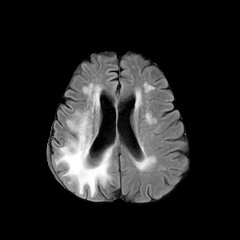
FLAIR magnetic resonance.
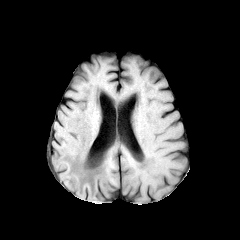
T1-weighted MRI of the same slice.
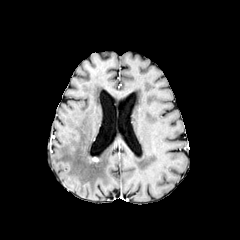
Same slice, post-contrast T1-weighted MRI.
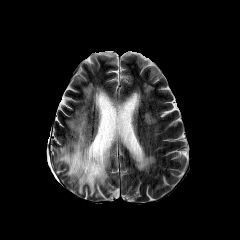
T2-weighted MR.
Brain. Image size 240x240.
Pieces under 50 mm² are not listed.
enhancing tumor: [x1=88, y1=157, x2=100, y2=162]
peritumoral edema: [x1=55, y1=83, x2=113, y2=196]